Slice 108/155, Image covers 240 mm x 240 mm, Axial plane
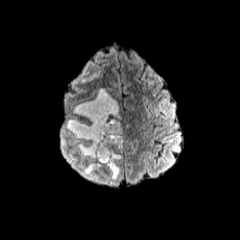
FLAIR MRI.
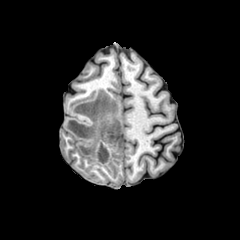
T1-weighted MRI of the same slice.
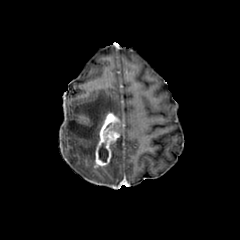
Post-contrast T1-weighted MR.
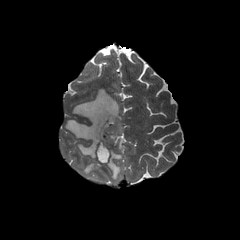
T2-weighted magnetic resonance.
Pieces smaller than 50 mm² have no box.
enhancing tumor at (x1=94, y1=112, x2=122, y2=167)
necrotic tumor core at (x1=98, y1=122, x2=120, y2=162)
peritumoral edema at (x1=115, y1=131, x2=122, y2=149), (x1=106, y1=149, x2=121, y2=179), (x1=66, y1=88, x2=120, y2=178)